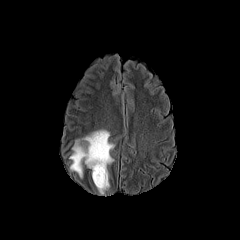
FLAIR MR image.
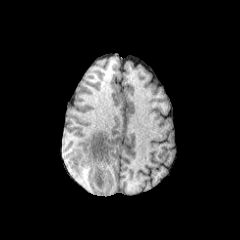
T1-weighted MRI of the same slice.
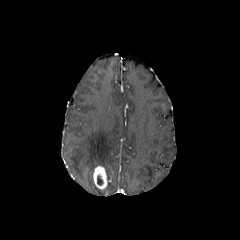
Same slice, post-contrast T1-weighted MRI.
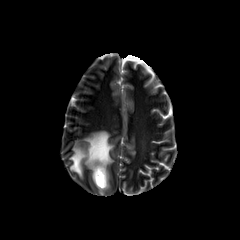
T2-weighted MRI.
240x240; Head
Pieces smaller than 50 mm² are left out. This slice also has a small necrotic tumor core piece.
Findings:
- peritumoral edema: x1=70, y1=130, x2=114, y2=179
- enhancing tumor: x1=93, y1=165, x2=107, y2=190